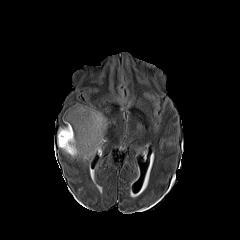
FLAIR MR image.
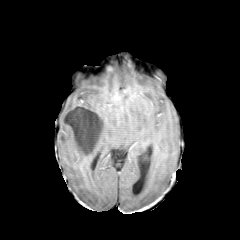
Same slice, T1-weighted MR image.
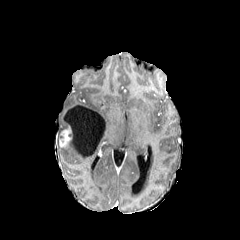
Post-contrast T1-weighted MR.
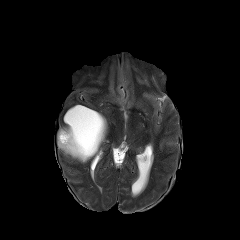
T2-weighted magnetic resonance.
Brain; Axial slice
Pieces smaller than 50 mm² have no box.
peritumoral edema: bounding box (left=71, top=103, right=108, bottom=137), (left=57, top=117, right=96, bottom=162)
necrotic tumor core: bounding box (left=64, top=105, right=104, bottom=158)
enhancing tumor: bounding box (left=59, top=126, right=71, bottom=147)